Brain, 240x240, Axial slice
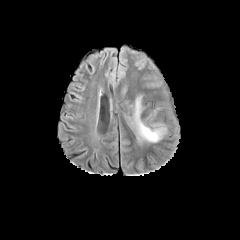
FLAIR MR image.
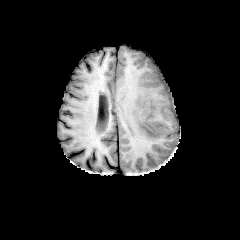
Same slice, T1-weighted MR image.
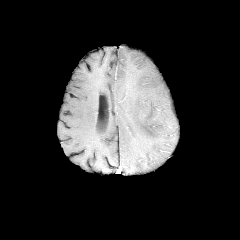
Post-contrast T1-weighted MRI.
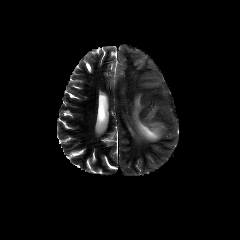
T2-weighted MR image.
peritumoral edema: bounding box bbox=[133, 96, 165, 142]